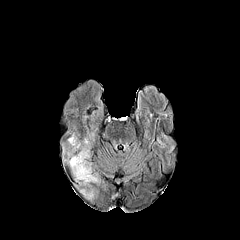
FLAIR magnetic resonance.
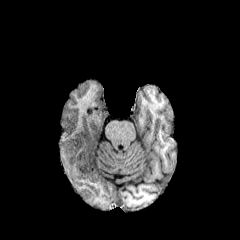
T1-weighted MR image.
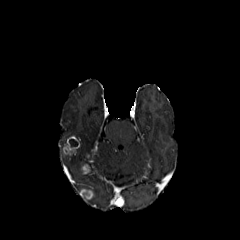
Post-contrast T1-weighted magnetic resonance of the same slice.
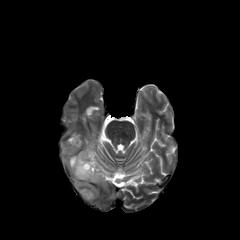
T2-weighted MR image.
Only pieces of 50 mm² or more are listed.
enhancing_tumor:
  - l=63, t=136, r=79, b=154
  - l=80, t=188, r=93, b=199
  - l=81, t=164, r=90, b=173
peritumoral_edema:
  - l=69, t=149, r=99, b=183
necrotic_tumor_core:
  - l=69, t=139, r=77, b=146